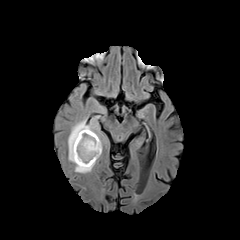
FLAIR magnetic resonance.
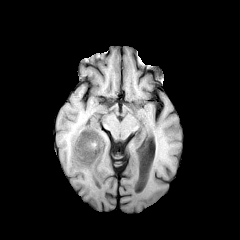
T1-weighted MR image of the same slice.
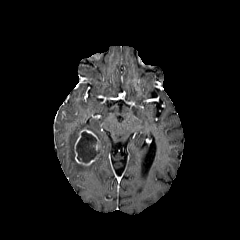
Post-contrast T1-weighted MR image.
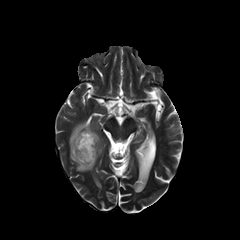
T2-weighted MR image of the same slice.
Axial view, Head
Annotated regions:
- enhancing tumor: (74, 129, 100, 165)
- necrotic tumor core: (76, 131, 98, 163)
- peritumoral edema: (67, 83, 109, 173)